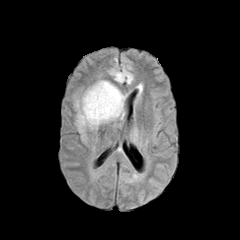
FLAIR magnetic resonance.
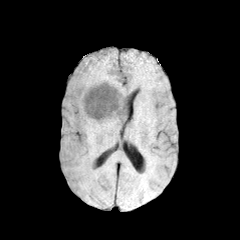
T1-weighted MRI.
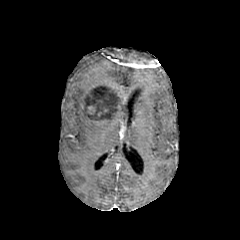
Post-contrast T1-weighted MRI.
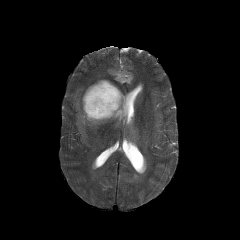
Same slice, T2-weighted magnetic resonance.
240x240
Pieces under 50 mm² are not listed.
enhancing_tumor:
  - (x1=84, y1=82, x2=124, y2=122)
necrotic_tumor_core:
  - (x1=86, y1=84, x2=120, y2=120)
peritumoral_edema:
  - (x1=105, y1=104, x2=124, y2=122)
  - (x1=74, y1=79, x2=122, y2=136)
  - (x1=108, y1=67, x2=133, y2=84)